Brain. Slice 83 of 155.
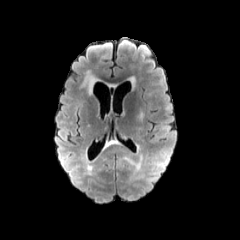
FLAIR MRI.
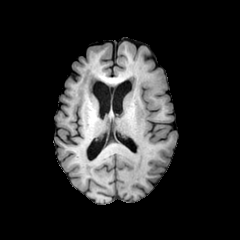
T1-weighted MR.
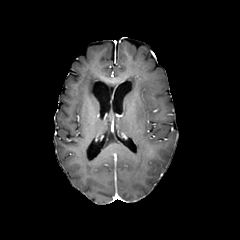
Same slice, post-contrast T1-weighted magnetic resonance.
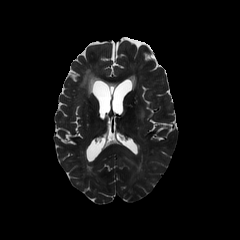
T2-weighted MR.
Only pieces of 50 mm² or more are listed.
The largest peritumoral edema region appears at bbox=[124, 156, 141, 170].